Axial view | Slice index 101 | Image size 240x240
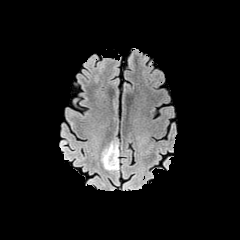
FLAIR MR image.
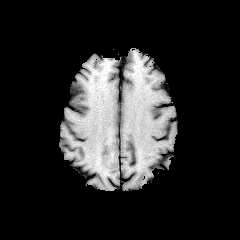
T1-weighted MRI of the same slice.
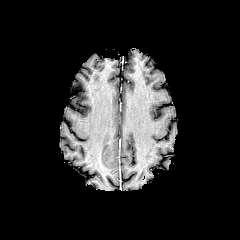
Post-contrast T1-weighted MRI of the same slice.
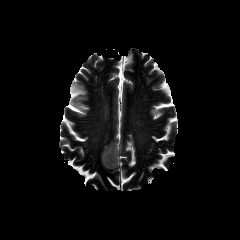
T2-weighted MR.
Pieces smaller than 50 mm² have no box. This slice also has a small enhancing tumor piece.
{
  "peritumoral_edema": [
    "(101,147,118,170)"
  ]
}